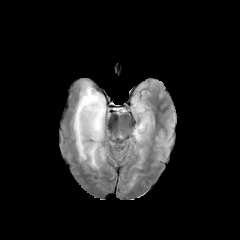
FLAIR magnetic resonance.
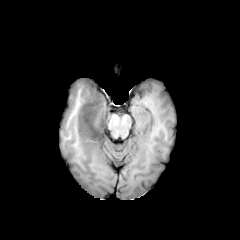
T1-weighted MR.
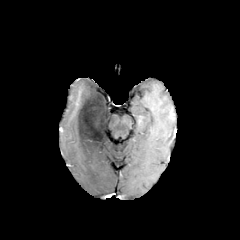
Post-contrast T1-weighted MRI of the same slice.
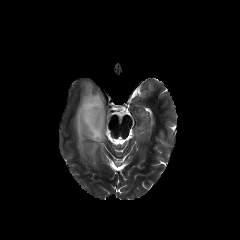
T2-weighted MRI of the same slice.
Head. Image size 240x240.
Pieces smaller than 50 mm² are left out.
The necrotic tumor core appears at x1=77, y1=91, x2=104, y2=142. The 2 largest peritumoral edema regions appear at x1=73, y1=82, x2=104, y2=167; x1=102, y1=96, x2=106, y2=128.